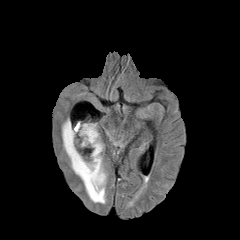
FLAIR MRI.
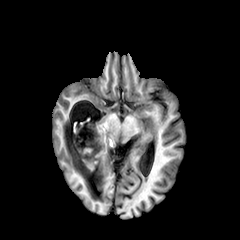
Same slice, T1-weighted MR image.
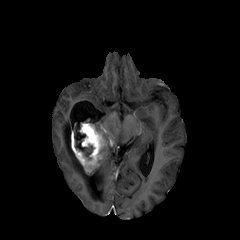
Post-contrast T1-weighted MR.
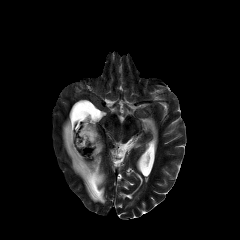
T2-weighted MRI.
Axial plane, 240x240 px
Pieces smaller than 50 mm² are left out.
necrotic tumor core = rect(74, 129, 92, 156)
peritumoral edema = rect(62, 118, 107, 203)
enhancing tumor = rect(70, 123, 105, 174)